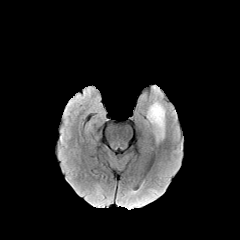
FLAIR MR.
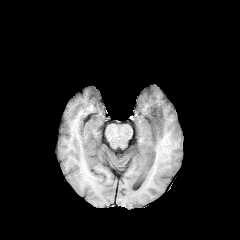
T1-weighted MRI.
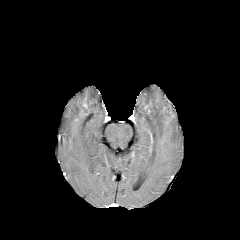
Post-contrast T1-weighted MRI of the same slice.
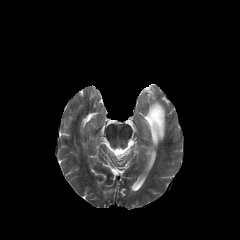
T2-weighted MR.
Head
The peritumoral edema appears at [147, 102, 164, 140].